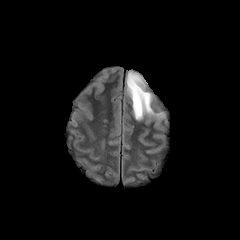
FLAIR magnetic resonance.
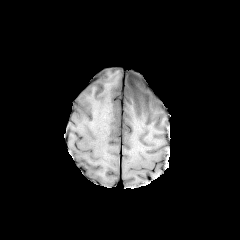
Same slice, T1-weighted MRI.
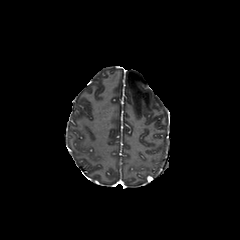
Post-contrast T1-weighted MR image.
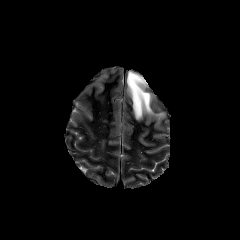
Same slice, T2-weighted MR.
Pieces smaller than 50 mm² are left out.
Findings:
- peritumoral edema: left=126, top=71, right=153, bottom=120